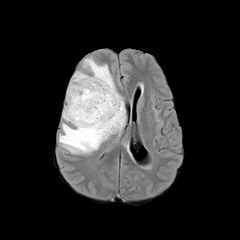
FLAIR magnetic resonance.
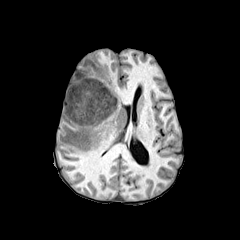
T1-weighted MR.
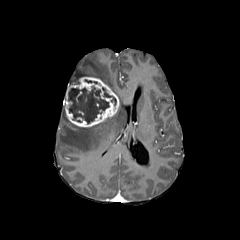
Post-contrast T1-weighted MR.
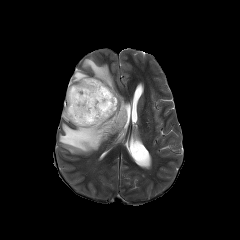
Same slice, T2-weighted MR.
Axial plane | 240x240
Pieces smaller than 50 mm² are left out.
enhancing tumor = left=65, top=77, right=119, bottom=127
necrotic tumor core = left=68, top=87, right=109, bottom=123; left=102, top=87, right=116, bottom=105
peritumoral edema = left=59, top=57, right=125, bottom=154; left=62, top=97, right=69, bottom=121